240x240 px
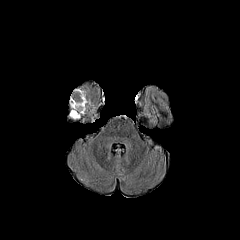
FLAIR magnetic resonance.
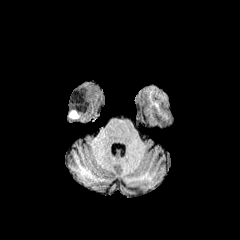
Same slice, T1-weighted magnetic resonance.
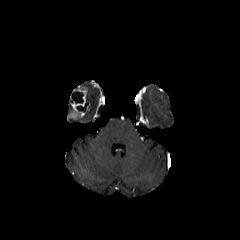
Post-contrast T1-weighted MRI.
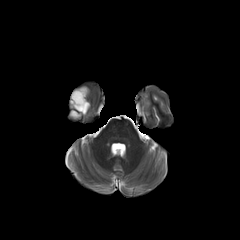
T2-weighted MR of the same slice.
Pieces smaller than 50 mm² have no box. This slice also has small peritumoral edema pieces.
- enhancing tumor: <bbox>70, 88, 87, 115</bbox>
- necrotic tumor core: <bbox>70, 91, 83, 103</bbox>, <bbox>76, 103, 87, 112</bbox>